Head; Axial view
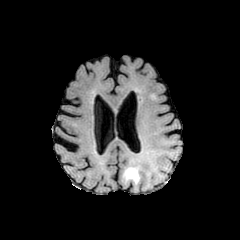
FLAIR MRI.
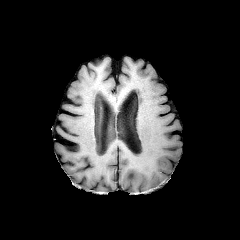
T1-weighted MR of the same slice.
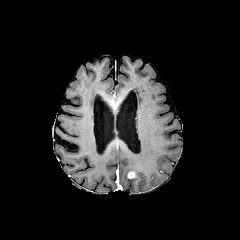
Post-contrast T1-weighted magnetic resonance.
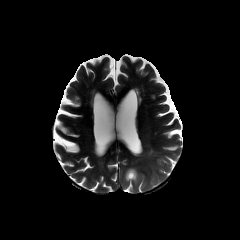
T2-weighted MR of the same slice.
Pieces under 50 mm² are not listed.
peritumoral edema: x1=126, y1=159, x2=140, y2=187
enhancing tumor: x1=127, y1=171, x2=136, y2=178